FLAIR MRI.
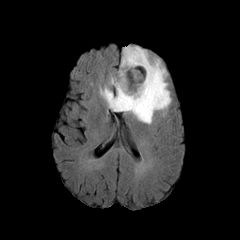
T1-weighted MR image.
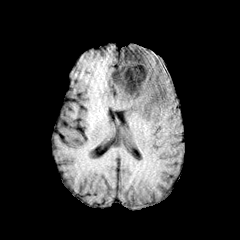
Post-contrast T1-weighted MRI.
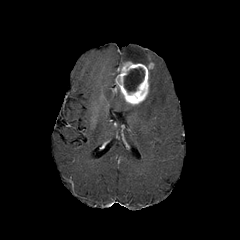
T2-weighted MR.
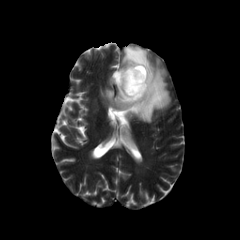
Head | Axial slice
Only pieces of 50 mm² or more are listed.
peritumoral edema: bbox=[100, 45, 171, 123]
enhancing tumor: bbox=[115, 61, 153, 105]
necrotic tumor core: bbox=[124, 67, 144, 91]